FLAIR MR image.
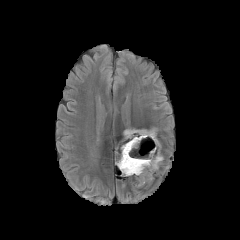
T1-weighted MR image.
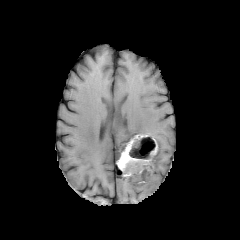
Post-contrast T1-weighted MRI.
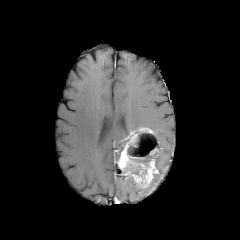
T2-weighted MR.
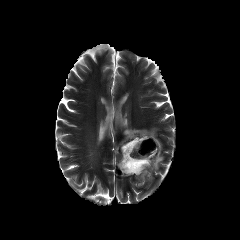
240x240.
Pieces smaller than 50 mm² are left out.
necrotic tumor core: x1=127 y1=133 x2=158 y2=174
peritumoral edema: x1=155 y1=150 x2=163 y2=169
enhancing tumor: x1=117 y1=127 x2=157 y2=186